Axial slice, Brain
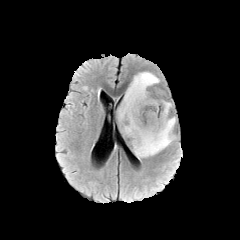
FLAIR MR.
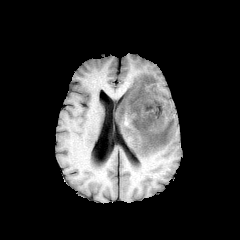
T1-weighted magnetic resonance of the same slice.
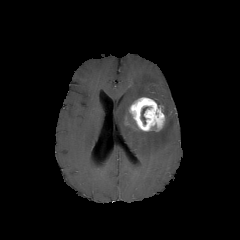
Post-contrast T1-weighted MR image.
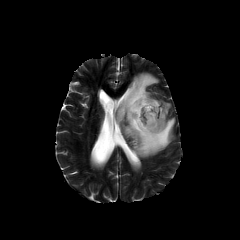
T2-weighted MR.
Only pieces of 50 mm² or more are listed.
enhancing tumor at (128, 97, 165, 131)
peritumoral edema at (116, 72, 176, 159)
necrotic tumor core at (141, 107, 148, 123)